Brain, Axial slice, Slice 102 of 155
FLAIR MR image.
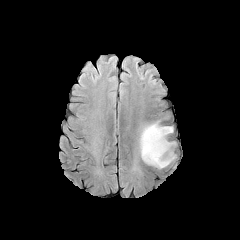
T1-weighted magnetic resonance.
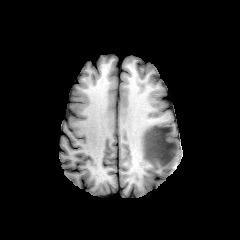
Post-contrast T1-weighted MR.
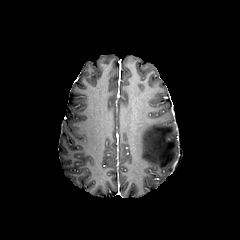
T2-weighted MR image.
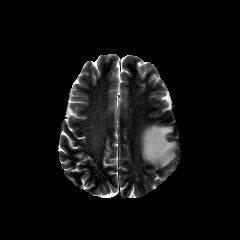
Segmented structures:
- peritumoral edema: [140, 122, 175, 168]